Slice index 66. Head. Image width 240 mm. Axial plane.
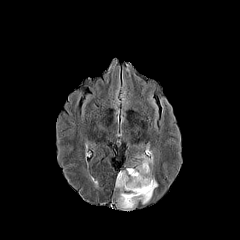
FLAIR magnetic resonance.
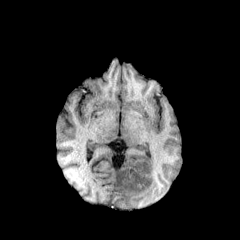
Same slice, T1-weighted MR.
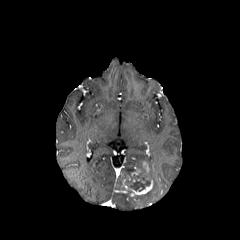
Post-contrast T1-weighted MRI.
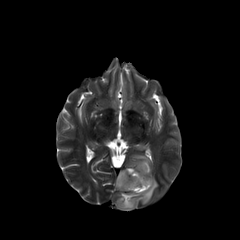
Same slice, T2-weighted MR image.
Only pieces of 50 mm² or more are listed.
The largest necrotic tumor core region lies within l=129, t=178, r=150, b=191. The 3 largest enhancing tumor regions are located at l=131, t=167, r=141, b=176; l=142, t=161, r=150, b=174; l=120, t=175, r=153, b=196. The largest peritumoral edema region lies within l=115, t=151, r=157, b=210.